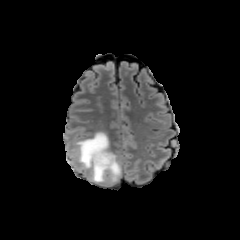
FLAIR MR.
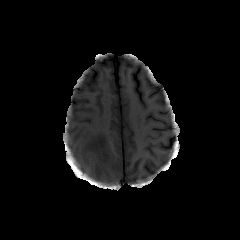
Same slice, T1-weighted MRI.
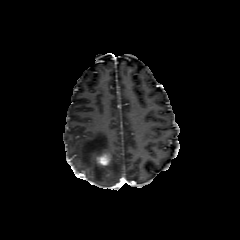
Post-contrast T1-weighted MR image of the same slice.
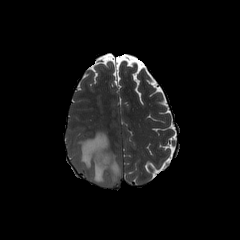
T2-weighted MR.
Annotated regions:
- peritumoral edema: [x1=76, y1=132, x2=121, y2=184]
- enhancing tumor: [x1=95, y1=152, x2=111, y2=166]